Head; Slice 94/155
FLAIR MR image.
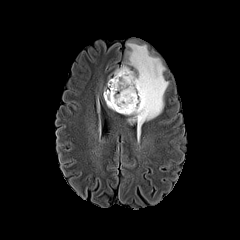
T1-weighted MR image.
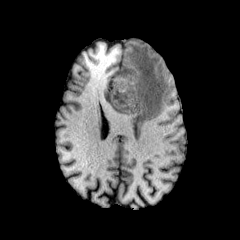
Post-contrast T1-weighted magnetic resonance.
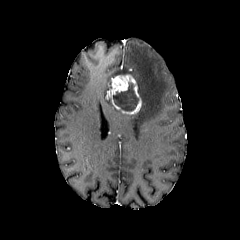
T2-weighted MR image.
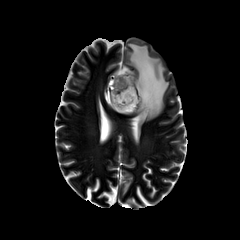
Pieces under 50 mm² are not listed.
The 2 largest peritumoral edema regions are bounded by {"x1": 114, "y1": 43, "x2": 168, "y2": 130}, {"x1": 103, "y1": 90, "x2": 121, "y2": 113}. The largest necrotic tumor core region appears at {"x1": 113, "y1": 83, "x2": 138, "y2": 110}. The enhancing tumor is bounded by {"x1": 105, "y1": 74, "x2": 141, "y2": 114}.